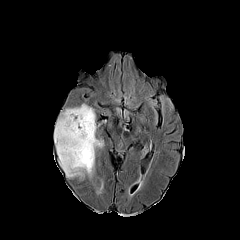
FLAIR MRI.
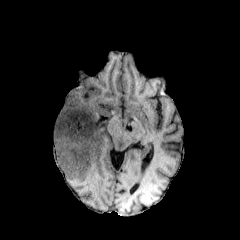
T1-weighted magnetic resonance of the same slice.
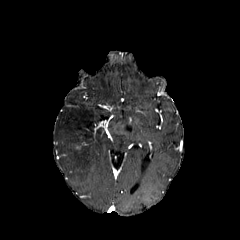
Post-contrast T1-weighted MR.
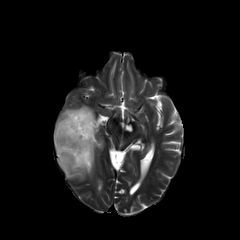
T2-weighted MR.
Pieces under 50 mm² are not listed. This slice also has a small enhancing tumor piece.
* peritumoral edema: {"x1": 54, "y1": 104, "x2": 103, "y2": 179}